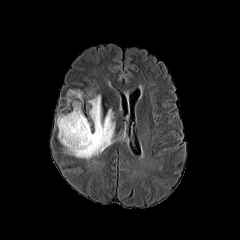
FLAIR magnetic resonance.
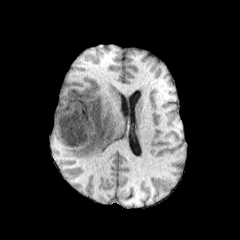
Same slice, T1-weighted magnetic resonance.
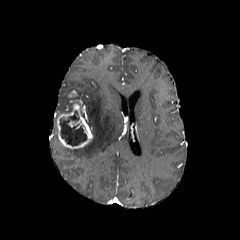
Post-contrast T1-weighted MR.
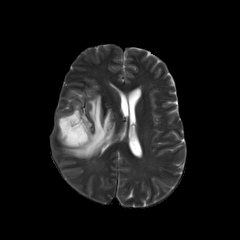
Same slice, T2-weighted MR.
Axial view; Head
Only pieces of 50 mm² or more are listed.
necrotic tumor core: 60:111:86:145 | enhancing tumor: 68:90:78:97, 56:99:93:148 | peritumoral edema: 64:95:115:159